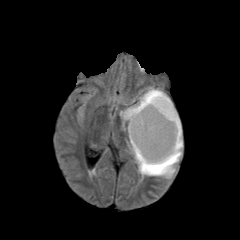
FLAIR magnetic resonance.
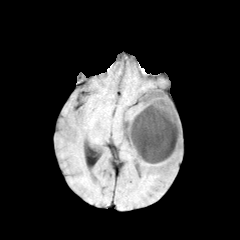
T1-weighted MR.
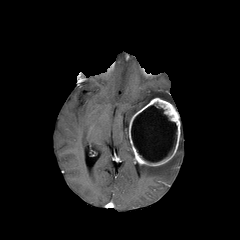
Post-contrast T1-weighted MR of the same slice.
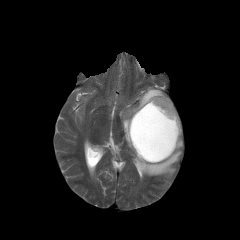
T2-weighted MRI.
Brain. Axial slice.
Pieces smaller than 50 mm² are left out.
The 2 largest peritumoral edema regions are located at [120, 87, 172, 134], [138, 126, 182, 178]. The enhancing tumor is located at [128, 97, 180, 166]. The necrotic tumor core is located at [131, 104, 176, 162].